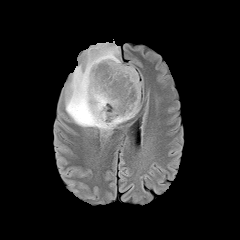
FLAIR MR image.
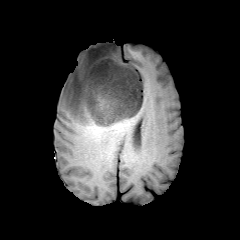
T1-weighted MRI of the same slice.
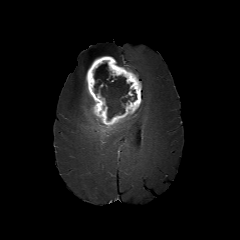
Same slice, post-contrast T1-weighted MR.
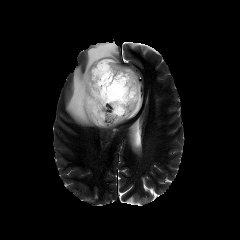
Same slice, T2-weighted MR.
Brain.
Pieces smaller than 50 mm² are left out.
peritumoral_edema:
  - [65,42,137,130]
necrotic_tumor_core:
  - [94,62,131,119]
enhancing_tumor:
  - [86,56,141,127]